Slice 86/155, Image size 240x240
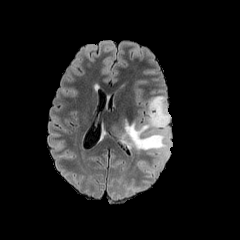
FLAIR magnetic resonance.
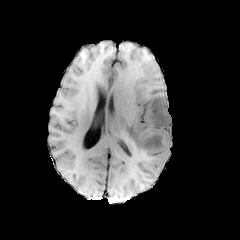
Same slice, T1-weighted MRI.
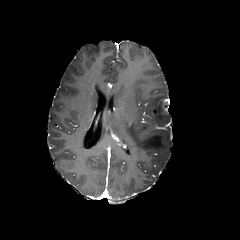
Post-contrast T1-weighted magnetic resonance.
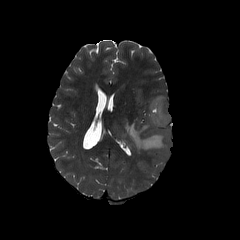
Same slice, T2-weighted MRI.
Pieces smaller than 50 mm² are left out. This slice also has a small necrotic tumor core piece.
enhancing tumor: bbox(162, 98, 169, 109)
peritumoral edema: bbox(138, 161, 145, 170); bbox(121, 95, 171, 172)